Brain | Axial view | Slice index 76
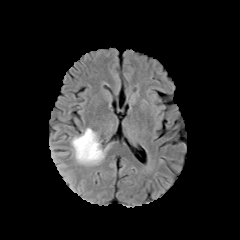
FLAIR MRI.
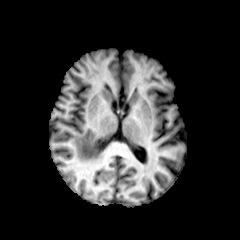
T1-weighted MR image.
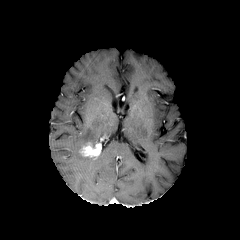
Post-contrast T1-weighted MRI.
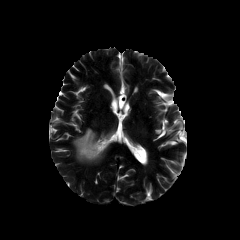
Same slice, T2-weighted MR.
peritumoral edema at 72,128,108,163
enhancing tumor at 79,142,101,159